240x240; Axial plane
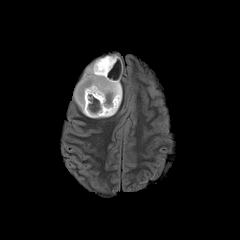
FLAIR magnetic resonance.
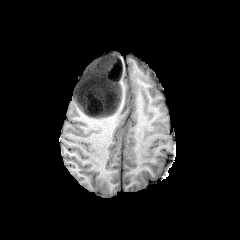
T1-weighted magnetic resonance.
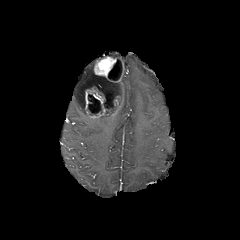
Post-contrast T1-weighted magnetic resonance.
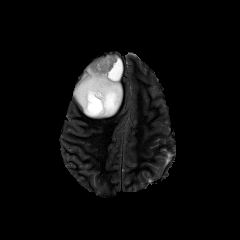
T2-weighted magnetic resonance of the same slice.
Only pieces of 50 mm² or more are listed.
peritumoral_edema:
  - 119,81,122,106
  - 74,61,95,116
necrotic_tumor_core:
  - 108,59,122,80
  - 88,94,102,115
  - 93,75,120,114
enhancing_tumor:
  - 94,56,123,78
  - 85,87,107,118